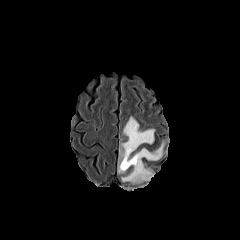
FLAIR MR.
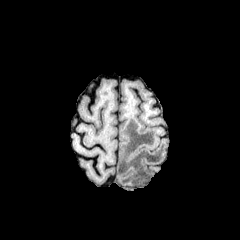
T1-weighted MRI.
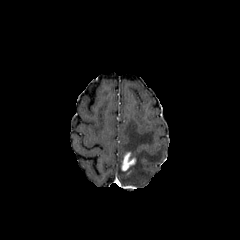
Post-contrast T1-weighted MR.
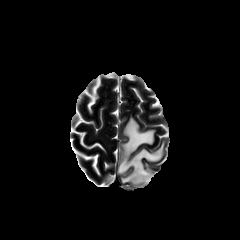
T2-weighted magnetic resonance.
Axial slice.
The enhancing tumor is located at left=121, top=152, right=136, bottom=171. The peritumoral edema lies within left=117, top=116, right=164, bottom=184.